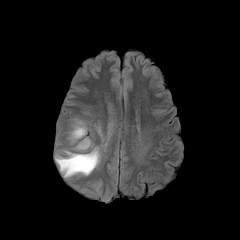
FLAIR MR.
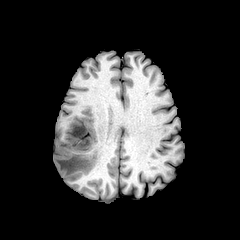
T1-weighted MR.
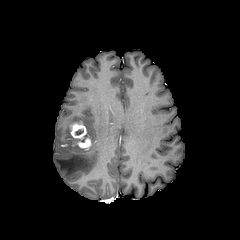
Post-contrast T1-weighted MRI.
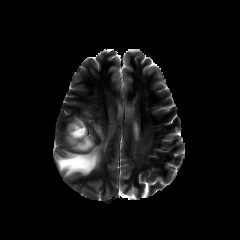
T2-weighted MR.
Brain; Axial view
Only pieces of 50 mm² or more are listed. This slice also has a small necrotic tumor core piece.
enhancing tumor: rect(70, 122, 91, 149) | peritumoral edema: rect(55, 147, 99, 176)